Brain; Axial view
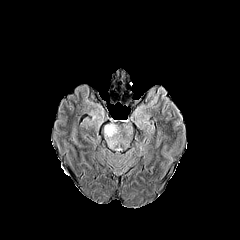
FLAIR magnetic resonance.
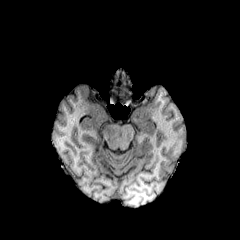
Same slice, T1-weighted MR.
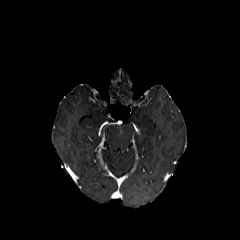
Post-contrast T1-weighted MRI of the same slice.
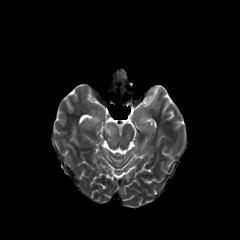
Same slice, T2-weighted magnetic resonance.
Findings:
• peritumoral edema: rect(104, 125, 117, 145)